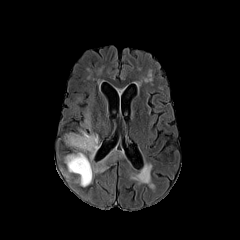
FLAIR MRI.
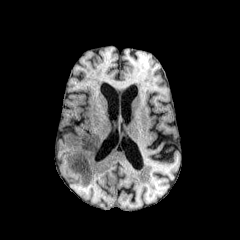
Same slice, T1-weighted MR.
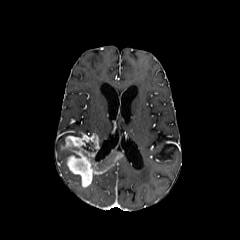
Post-contrast T1-weighted MR.
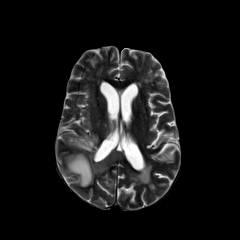
Same slice, T2-weighted magnetic resonance.
Axial plane
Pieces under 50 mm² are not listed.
necrotic tumor core at [81, 141, 96, 152]
peritumoral edema at [65, 130, 92, 137], [82, 114, 93, 130]
enhancing tumor at [60, 132, 123, 187]